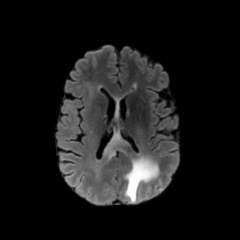
FLAIR MR.
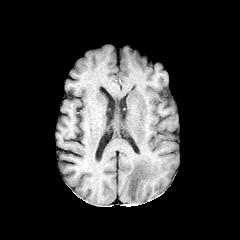
Same slice, T1-weighted magnetic resonance.
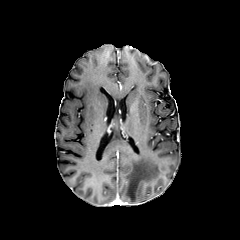
Same slice, post-contrast T1-weighted magnetic resonance.
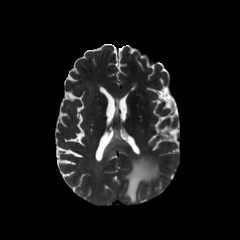
Same slice, T2-weighted MR.
Head
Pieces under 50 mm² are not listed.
{
  "peritumoral_edema": [
    "(x1=125, y1=157, x2=158, y2=202)",
    "(x1=103, y1=131, x2=129, y2=157)"
  ]
}